FLAIR MR.
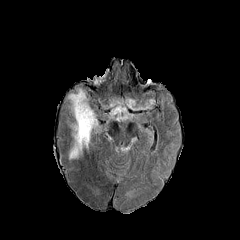
T1-weighted MRI.
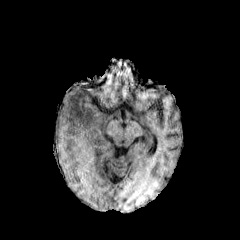
Post-contrast T1-weighted magnetic resonance.
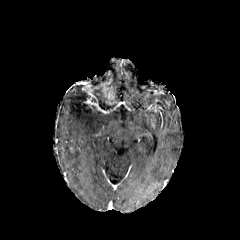
T2-weighted MRI.
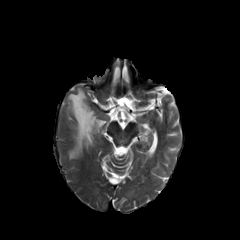
Head
peritumoral edema: box(69, 89, 98, 158)